Axial slice
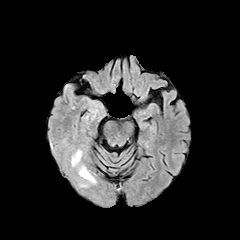
FLAIR MR.
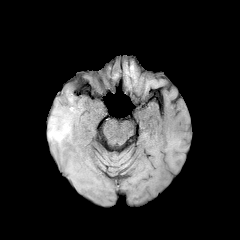
T1-weighted MR.
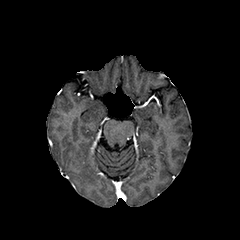
Post-contrast T1-weighted magnetic resonance.
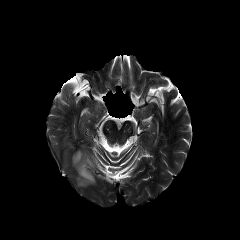
T2-weighted MRI of the same slice.
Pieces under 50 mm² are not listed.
The 2 largest peritumoral edema regions are bounded by (79,165,95,182), (72,150,82,165).